Slice 106 of 155 | Axial plane
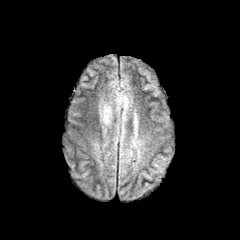
FLAIR MRI.
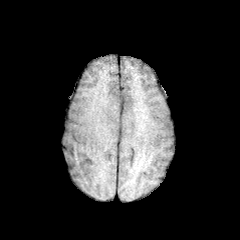
T1-weighted MRI.
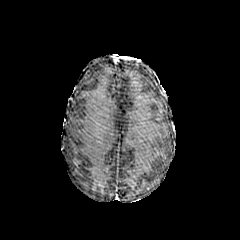
Post-contrast T1-weighted magnetic resonance.
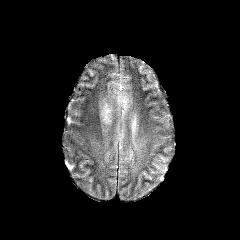
T2-weighted MR.
peritumoral edema: bounding box (117, 93, 127, 105), (101, 103, 111, 124)